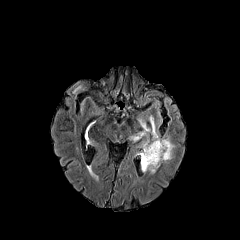
FLAIR MR.
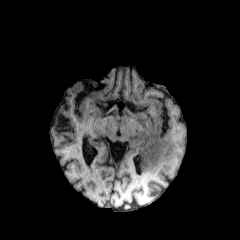
T1-weighted MR.
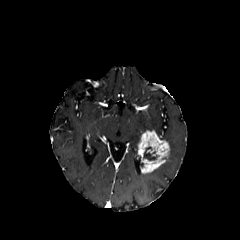
Same slice, post-contrast T1-weighted MR.
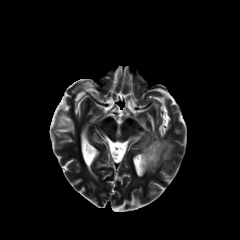
T2-weighted MRI.
240x240
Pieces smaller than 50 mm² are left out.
The enhancing tumor appears at (138, 130, 169, 173). The largest necrotic tumor core region is bounded by (144, 147, 156, 160). The 2 largest peritumoral edema regions are located at (160, 138, 174, 161), (129, 116, 157, 142).